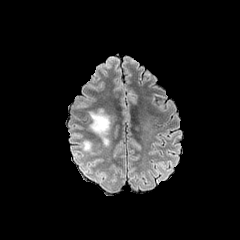
FLAIR magnetic resonance.
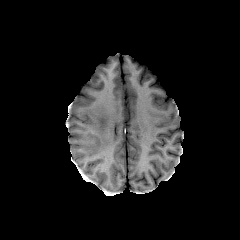
Same slice, T1-weighted MRI.
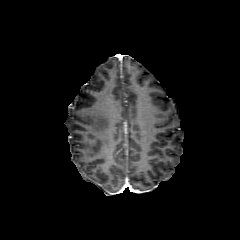
Post-contrast T1-weighted MRI.
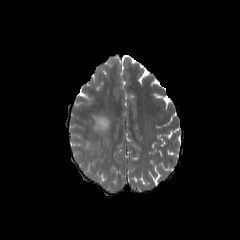
T2-weighted MR image of the same slice.
Brain; Axial view
2 peritumoral edema regions are bounded by x1=83, y1=141, x2=91, y2=151; x1=89, y1=109, x2=109, y2=145.